FLAIR MR.
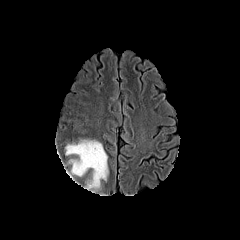
T1-weighted MRI.
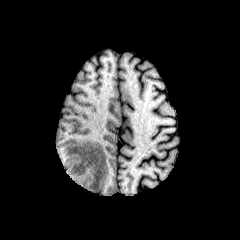
Post-contrast T1-weighted MR.
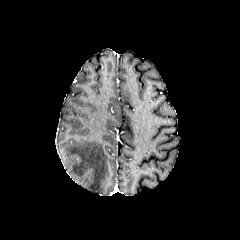
T2-weighted MR.
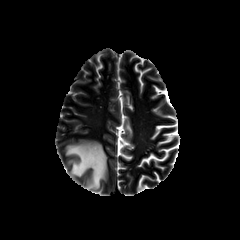
Axial view; Image size 240x240; Head
Segmented structures:
* peritumoral edema: [x1=65, y1=140, x2=108, y2=191]